FLAIR MRI.
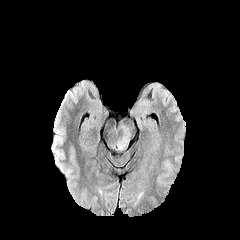
T1-weighted magnetic resonance.
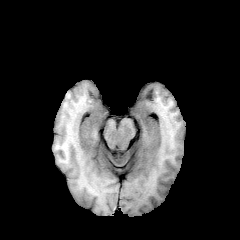
Post-contrast T1-weighted MR image.
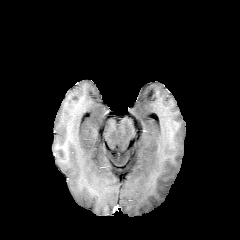
T2-weighted MRI.
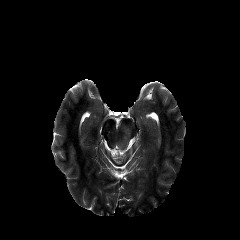
peritumoral edema: [x1=117, y1=130, x2=130, y2=149]